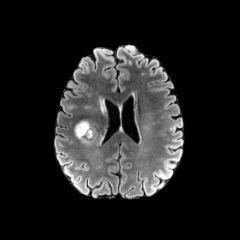
FLAIR MRI.
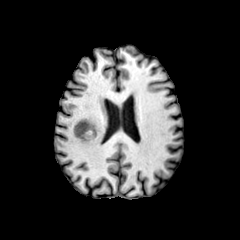
Same slice, T1-weighted MRI.
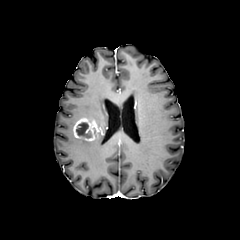
Post-contrast T1-weighted MR of the same slice.
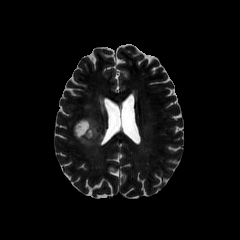
T2-weighted magnetic resonance.
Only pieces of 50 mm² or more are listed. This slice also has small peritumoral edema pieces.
enhancing_tumor:
  - l=74, t=119, r=97, b=140
necrotic_tumor_core:
  - l=76, t=122, r=91, b=138